Image width 240 mm, 1.00 mm slice spacing, Slice 87/155, Brain, Axial plane
FLAIR MR.
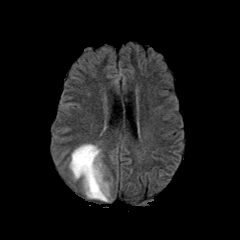
T1-weighted MR.
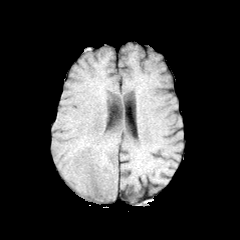
Post-contrast T1-weighted magnetic resonance.
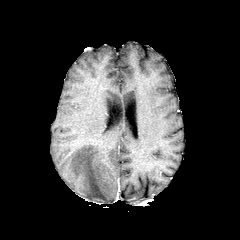
T2-weighted MRI.
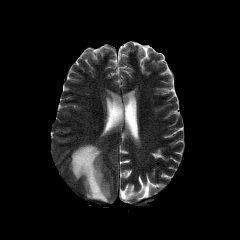
peritumoral edema: left=69, top=144, right=109, bottom=201